Head. Slice 61 of 155.
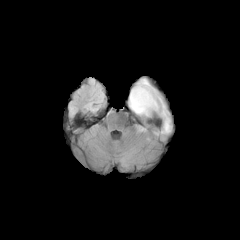
FLAIR MRI.
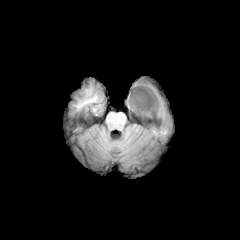
Same slice, T1-weighted magnetic resonance.
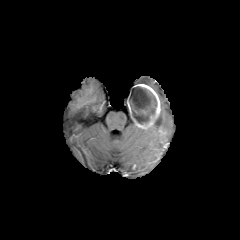
Post-contrast T1-weighted MR.
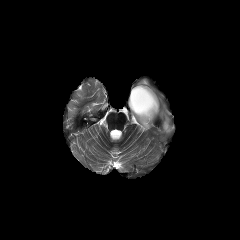
T2-weighted magnetic resonance.
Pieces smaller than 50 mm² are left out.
{"necrotic_tumor_core": ["bbox=[130, 87, 156, 124]"], "peritumoral_edema": ["bbox=[159, 96, 170, 133]", "bbox=[137, 79, 150, 86]"], "enhancing_tumor": ["bbox=[128, 84, 160, 128]"]}